Image size 240x240
FLAIR MRI.
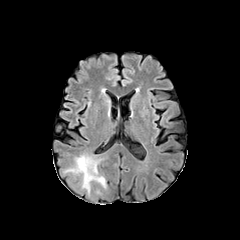
T1-weighted MRI.
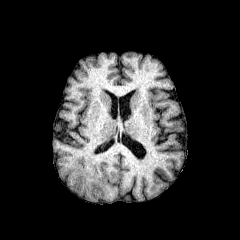
Post-contrast T1-weighted MR.
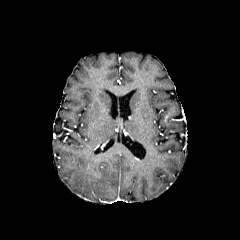
T2-weighted MR.
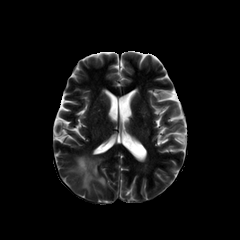
peritumoral_edema:
  - bbox=[69, 155, 106, 189]